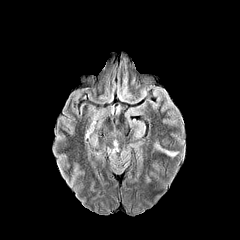
FLAIR MRI.
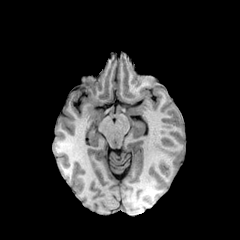
Same slice, T1-weighted MRI.
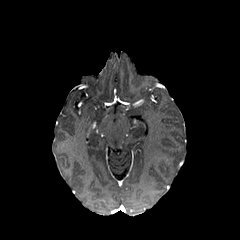
Post-contrast T1-weighted MR of the same slice.
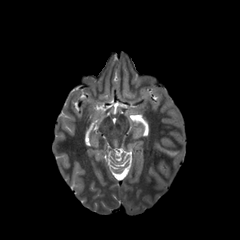
T2-weighted MR.
The peritumoral edema is located at box=[155, 143, 177, 156].